FLAIR magnetic resonance.
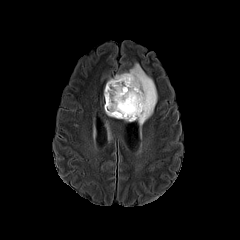
T1-weighted magnetic resonance.
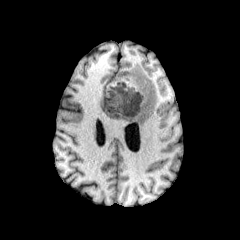
Post-contrast T1-weighted magnetic resonance.
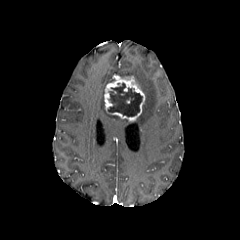
T2-weighted magnetic resonance.
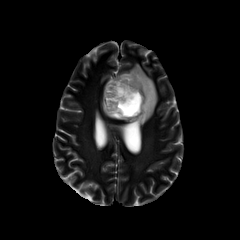
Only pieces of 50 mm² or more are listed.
peritumoral_edema:
  - (left=116, top=63, right=157, bottom=127)
enhancing_tumor:
  - (left=104, top=75, right=145, bottom=121)
necrotic_tumor_core:
  - (left=108, top=83, right=142, bottom=116)